Brain
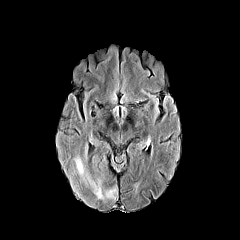
FLAIR magnetic resonance.
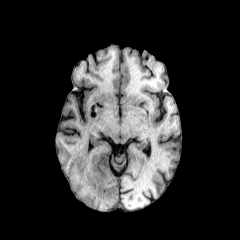
Same slice, T1-weighted MR.
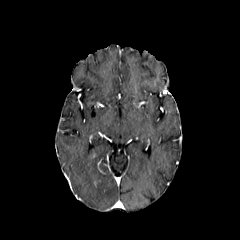
Post-contrast T1-weighted MR image.
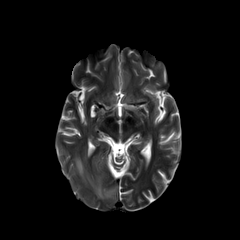
T2-weighted magnetic resonance.
Annotated regions:
* peritumoral edema: bbox(74, 156, 116, 199)